FLAIR magnetic resonance.
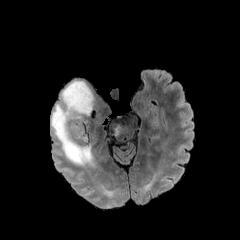
T1-weighted MRI.
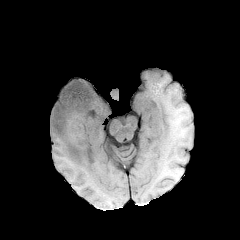
Post-contrast T1-weighted MR.
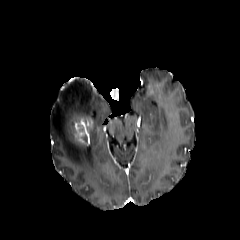
T2-weighted magnetic resonance.
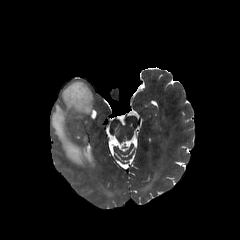
Brain.
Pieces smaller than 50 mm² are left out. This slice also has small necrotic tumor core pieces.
The largest peritumoral edema region is at [51,81,93,166]. The enhancing tumor is at [74,117,92,144].